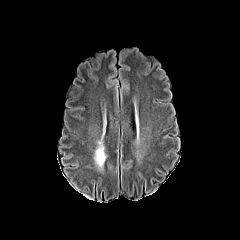
FLAIR MR image.
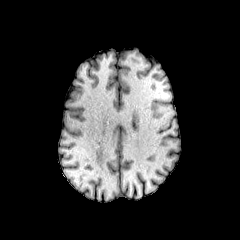
T1-weighted MR image of the same slice.
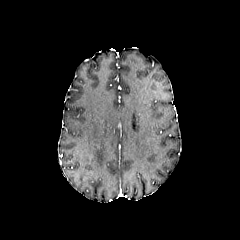
Post-contrast T1-weighted magnetic resonance.
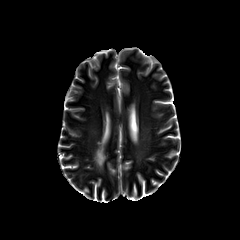
T2-weighted magnetic resonance of the same slice.
Head
<segmentation>
  <peritumoral_edema>(x1=94, y1=141, x2=106, y2=169)</peritumoral_edema>
</segmentation>